FLAIR magnetic resonance.
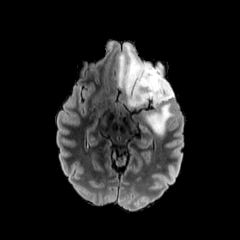
T1-weighted MR.
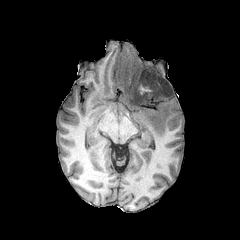
Post-contrast T1-weighted MR image.
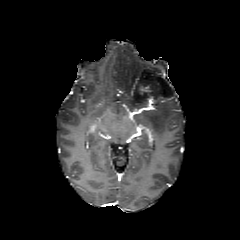
T2-weighted MRI.
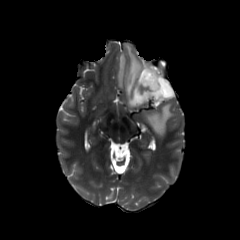
Axial slice
Segmented structures:
• peritumoral edema: bbox(142, 100, 173, 135); bbox(116, 43, 174, 108)
• enhancing tumor: bbox(131, 76, 138, 96); bbox(139, 85, 151, 94); bbox(145, 95, 169, 106)